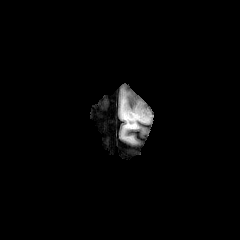
FLAIR MR.
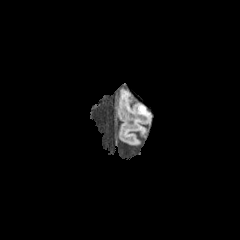
T1-weighted MR.
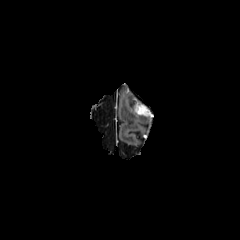
Post-contrast T1-weighted MR.
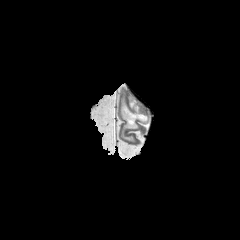
T2-weighted MR.
240x240 px | Head | Axial slice
peritumoral edema = x1=120 y1=93 x2=150 y2=142
enhancing tumor = x1=134 y1=103 x2=150 y2=116